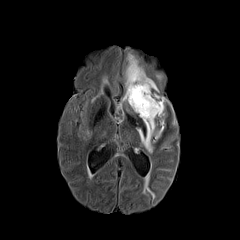
FLAIR MRI.
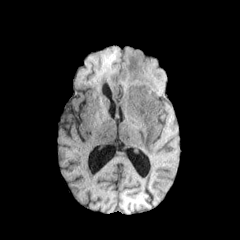
T1-weighted MRI of the same slice.
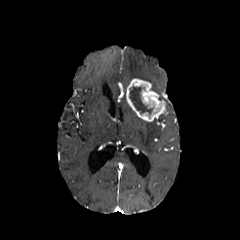
Post-contrast T1-weighted magnetic resonance.
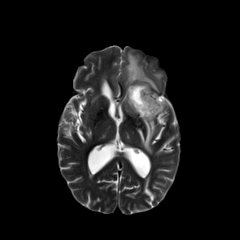
T2-weighted MR.
Head.
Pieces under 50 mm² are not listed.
{
  "enhancing_tumor": [
    {"x1": 126, "y1": 78, "x2": 166, "y2": 121}
  ],
  "necrotic_tumor_core": [
    {"x1": 130, "y1": 86, "x2": 153, "y2": 115}
  ],
  "peritumoral_edema": [
    {"x1": 137, "y1": 118, "x2": 161, "y2": 153},
    {"x1": 125, "y1": 51, "x2": 159, "y2": 92}
  ]
}